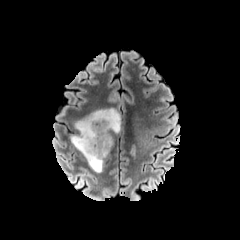
FLAIR MR.
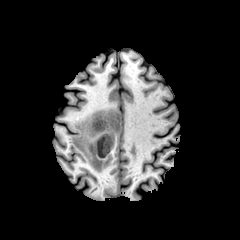
T1-weighted MRI.
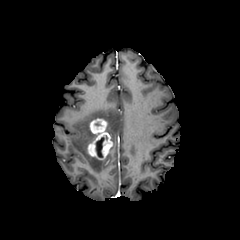
Post-contrast T1-weighted MR image of the same slice.
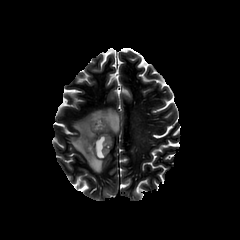
Same slice, T2-weighted magnetic resonance.
Image size 240x240. Brain. Axial plane.
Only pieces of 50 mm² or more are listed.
The largest necrotic tumor core region lies within box=[96, 137, 104, 157]. The peritumoral edema is located at box=[70, 108, 120, 172]. The enhancing tumor lies within box=[87, 118, 112, 159].